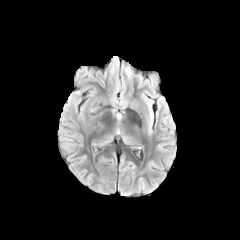
FLAIR MR.
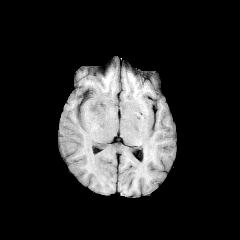
T1-weighted magnetic resonance of the same slice.
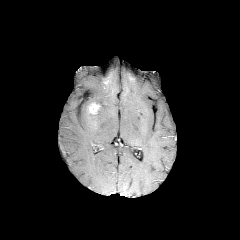
Post-contrast T1-weighted MRI.
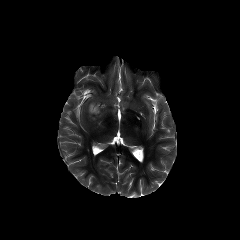
Same slice, T2-weighted MR.
Axial slice
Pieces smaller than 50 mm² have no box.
enhancing_tumor:
  - 87:102:106:115
peritumoral_edema:
  - 82:104:103:126